Image width 240 mm, 1.00 mm slice spacing; Axial plane
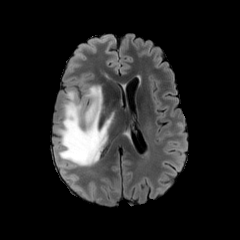
FLAIR MR.
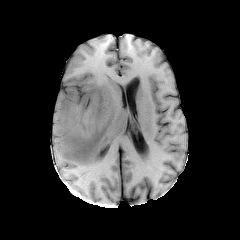
T1-weighted MR.
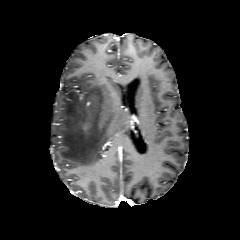
Post-contrast T1-weighted magnetic resonance of the same slice.
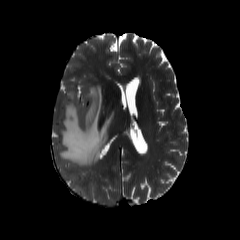
T2-weighted MR image of the same slice.
The peritumoral edema is located at box=[55, 85, 113, 166].